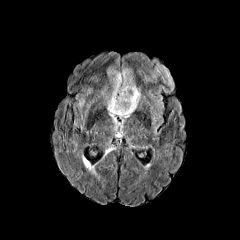
FLAIR MR image.
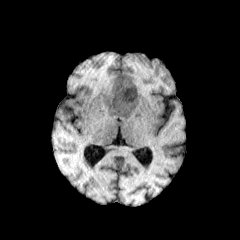
T1-weighted MR of the same slice.
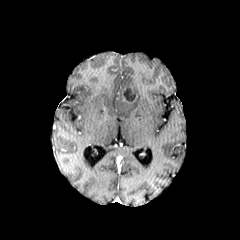
Post-contrast T1-weighted MR image.
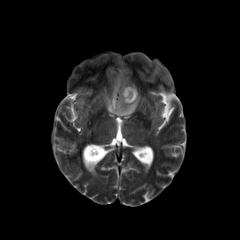
Same slice, T2-weighted magnetic resonance.
Head | Axial plane
enhancing tumor: l=121, t=86, r=138, b=103 | necrotic tumor core: l=123, t=88, r=135, b=101 | peritumoral edema: l=107, t=65, r=140, b=117